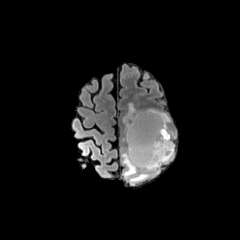
FLAIR MR image.
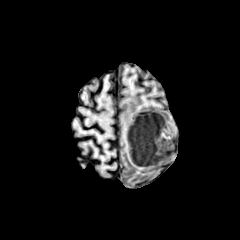
T1-weighted MR of the same slice.
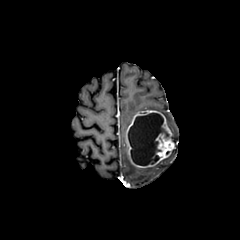
Post-contrast T1-weighted MRI.
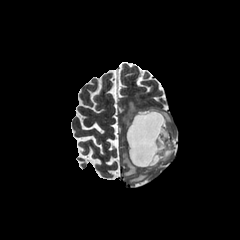
T2-weighted MRI.
Brain
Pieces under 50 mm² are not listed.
necrotic tumor core: bounding box {"x1": 128, "y1": 113, "x2": 170, "y2": 165}
peritumoral edema: bounding box {"x1": 123, "y1": 103, "x2": 136, "y2": 129}, {"x1": 122, "y1": 149, "x2": 173, "y2": 184}
enhancing tumor: bounding box {"x1": 125, "y1": 110, "x2": 174, "y2": 167}